FLAIR MRI.
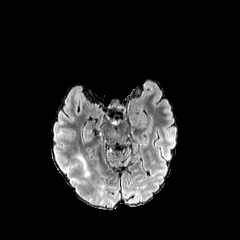
T1-weighted MRI.
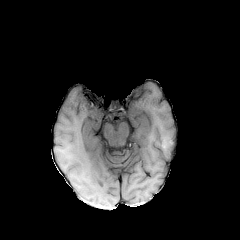
Post-contrast T1-weighted magnetic resonance.
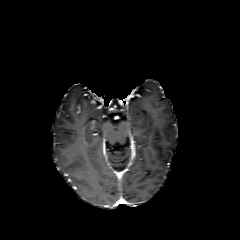
T2-weighted MR.
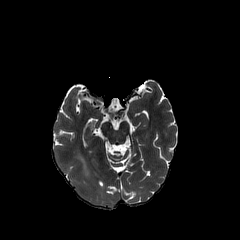
Axial plane
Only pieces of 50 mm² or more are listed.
<segmentation>
  <peritumoral_edema>77:154:86:169</peritumoral_edema>
</segmentation>